Brain | Image size 240x240 | Axial slice
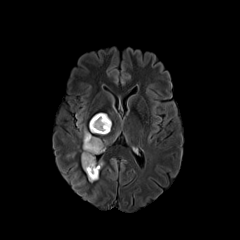
FLAIR MRI.
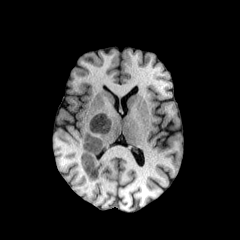
T1-weighted MRI.
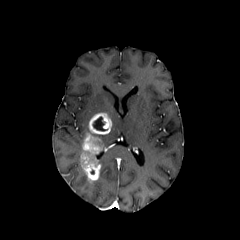
Post-contrast T1-weighted MR image.
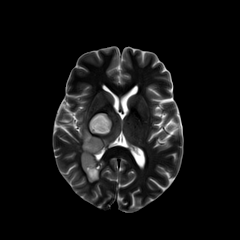
T2-weighted MR image.
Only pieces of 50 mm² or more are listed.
Segmented structures:
* enhancing tumor: left=89, top=113, right=111, bottom=134; left=81, top=132, right=104, bottom=180
* peritumoral edema: left=77, top=116, right=87, bottom=141
* necrotic tumor core: left=93, top=116, right=107, bottom=131